240x240 px. Image width 240 mm, 1.00 mm slice spacing. Axial view. Slice index 86.
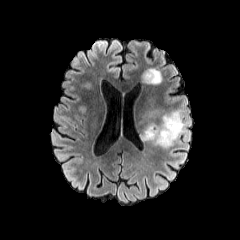
FLAIR MRI.
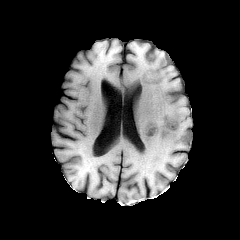
T1-weighted MR.
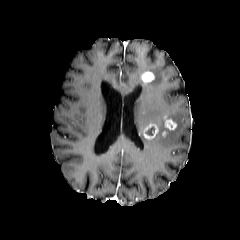
Same slice, post-contrast T1-weighted MR image.
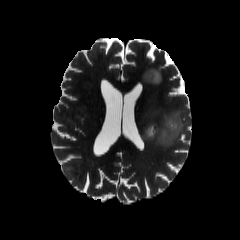
T2-weighted MR.
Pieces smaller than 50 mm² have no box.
{"necrotic_tumor_core": ["145:126:154:135"], "enhancing_tumor": ["143:123:158:139", "164:115:177:130", "141:72:155:83"], "peritumoral_edema": ["145:68:161:84", "138:107:189:147"]}